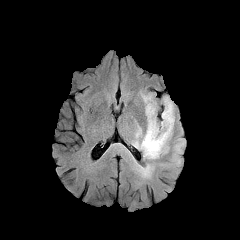
FLAIR magnetic resonance.
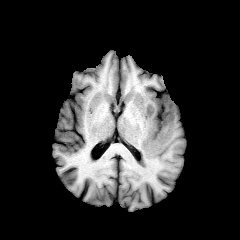
T1-weighted magnetic resonance.
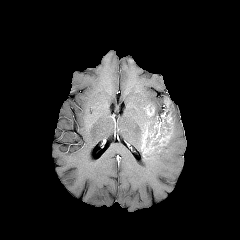
Post-contrast T1-weighted MR.
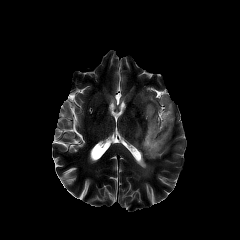
T2-weighted MRI.
Axial slice, Brain
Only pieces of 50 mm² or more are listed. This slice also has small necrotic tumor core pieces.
enhancing tumor: (146,105,154,117), (141,97,173,152) | peritumoral edema: (141,93,161,124), (132,99,174,176), (175,143,183,150)